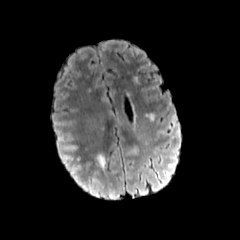
FLAIR MR.
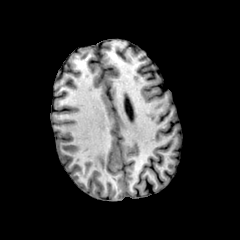
T1-weighted MR image of the same slice.
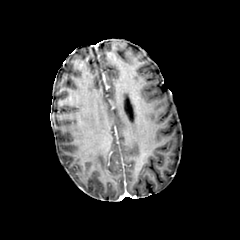
Post-contrast T1-weighted MR of the same slice.
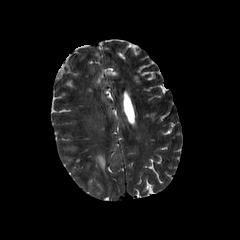
T2-weighted MR image.
Head
peritumoral_edema:
  - (left=96, top=154, right=105, bottom=169)